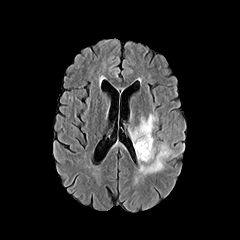
FLAIR magnetic resonance.
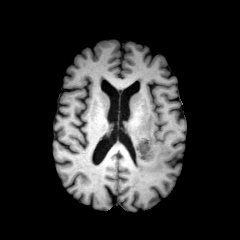
T1-weighted magnetic resonance of the same slice.
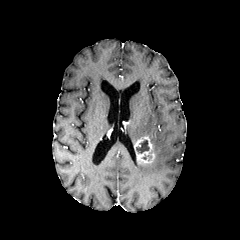
Post-contrast T1-weighted MR.
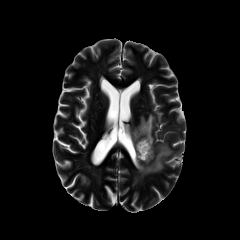
T2-weighted MR image.
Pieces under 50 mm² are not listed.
2 peritumoral edema regions appear at 131:112:157:144, 133:140:174:185. The largest necrotic tumor core region appears at 136:140:149:153. The enhancing tumor lies within 133:136:155:163.